Axial slice | Brain
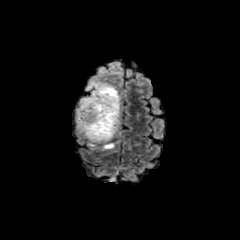
FLAIR magnetic resonance.
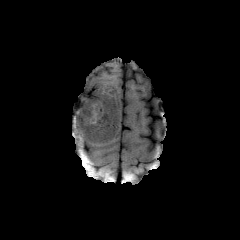
Same slice, T1-weighted magnetic resonance.
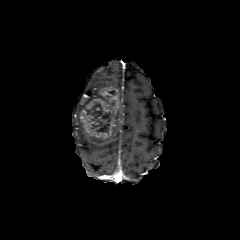
Post-contrast T1-weighted magnetic resonance.
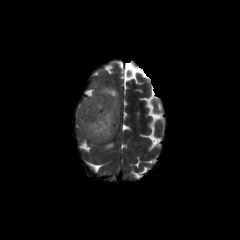
T2-weighted MR image of the same slice.
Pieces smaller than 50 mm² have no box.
<segmentation>
  <necrotic_tumor_core>bbox(87, 103, 112, 132)</necrotic_tumor_core>
  <peritumoral_edema>bbox(87, 138, 110, 146); bbox(87, 81, 112, 90); bbox(77, 95, 93, 129); bbox(102, 142, 114, 149)</peritumoral_edema>
  <enhancing_tumor>bbox(79, 86, 120, 140)</enhancing_tumor>
</segmentation>